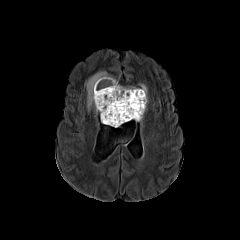
FLAIR magnetic resonance.
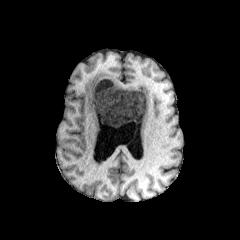
T1-weighted MR.
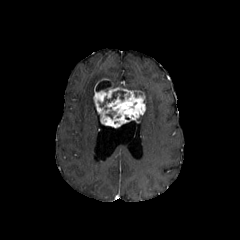
Post-contrast T1-weighted magnetic resonance.
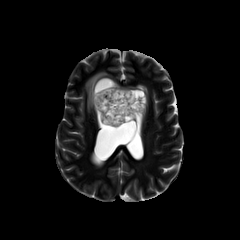
T2-weighted MR.
Axial view
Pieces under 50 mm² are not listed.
peritumoral_edema:
  - l=85, t=71, r=147, b=111
enhancing_tumor:
  - l=93, t=78, r=145, b=127
necrotic_tumor_core:
  - l=96, t=80, r=112, b=91
  - l=100, t=91, r=125, b=107